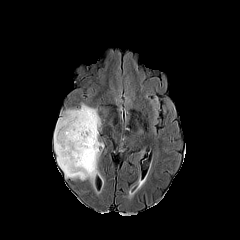
FLAIR MR image.
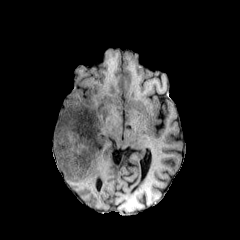
T1-weighted MR.
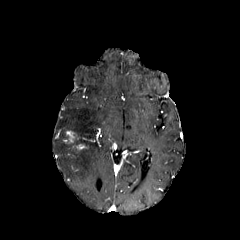
Same slice, post-contrast T1-weighted MRI.
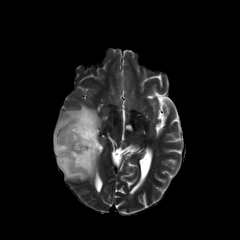
Same slice, T2-weighted MR image.
Axial plane
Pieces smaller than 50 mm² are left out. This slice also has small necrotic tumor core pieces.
2 enhancing tumor regions are located at region(74, 143, 86, 150); region(63, 130, 79, 142). The largest peritumoral edema region appears at region(54, 104, 100, 180).